Slice index 100, Head, 240x240 px
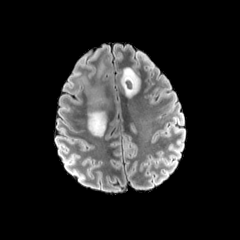
FLAIR magnetic resonance.
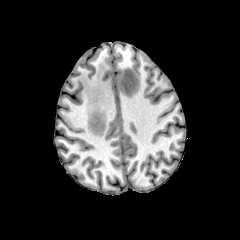
Same slice, T1-weighted magnetic resonance.
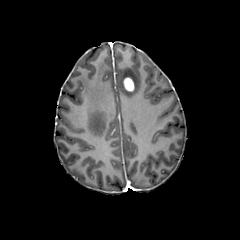
Same slice, post-contrast T1-weighted MR image.
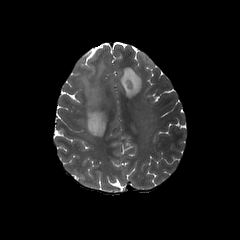
T2-weighted magnetic resonance.
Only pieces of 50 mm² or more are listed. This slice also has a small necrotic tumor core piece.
peritumoral edema: bounding box [x1=120, y1=65, x2=141, y2=97], [x1=80, y1=57, x2=108, y2=136]
enhancing tumor: bounding box [x1=123, y1=77, x2=134, y2=91]